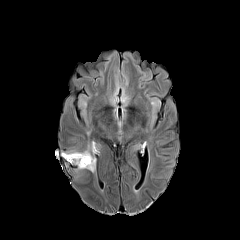
FLAIR MRI.
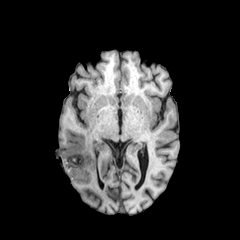
Same slice, T1-weighted MR.
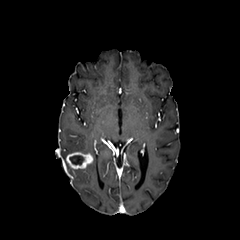
Post-contrast T1-weighted magnetic resonance of the same slice.
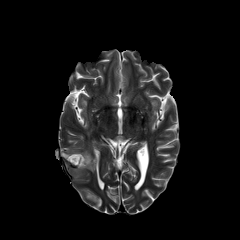
Same slice, T2-weighted magnetic resonance.
Head
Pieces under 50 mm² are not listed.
Annotated regions:
• necrotic tumor core: region(69, 155, 84, 164)
• enhancing tumor: region(66, 152, 93, 169)
• peritumoral edema: region(86, 158, 95, 171)